Axial view.
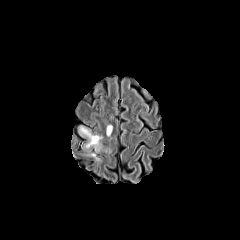
FLAIR MR.
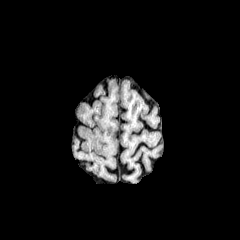
Same slice, T1-weighted MRI.
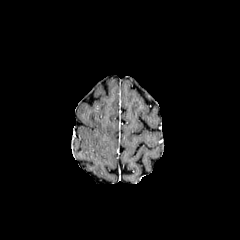
Same slice, post-contrast T1-weighted MR image.
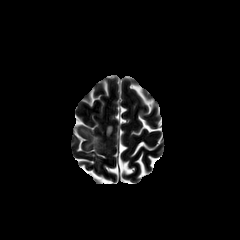
Same slice, T2-weighted magnetic resonance.
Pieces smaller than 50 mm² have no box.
peritumoral edema: box=[106, 125, 112, 136]; box=[79, 126, 102, 151]